FLAIR magnetic resonance.
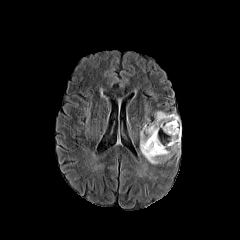
T1-weighted MR.
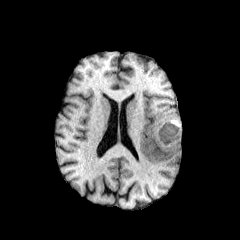
Post-contrast T1-weighted MR image.
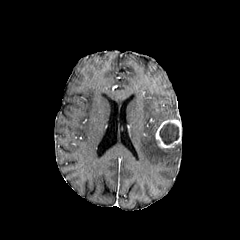
T2-weighted MR.
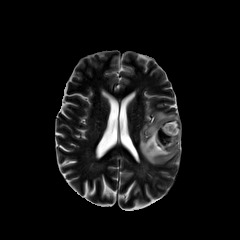
necrotic tumor core: left=159, top=123, right=179, bottom=144 | peritumoral edema: left=140, top=111, right=180, bottom=164 | enhancing tumor: left=155, top=119, right=181, bottom=148